Image width 240 mm, 1.00 mm slice spacing.
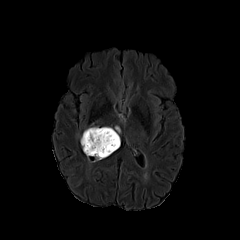
FLAIR MR.
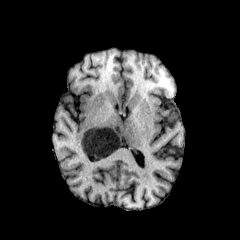
T1-weighted MR image of the same slice.
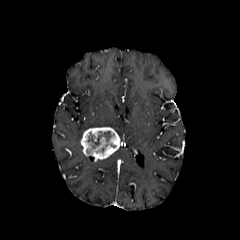
Post-contrast T1-weighted MRI of the same slice.
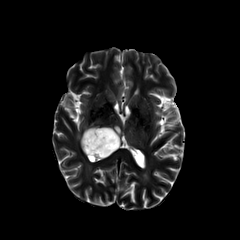
T2-weighted magnetic resonance.
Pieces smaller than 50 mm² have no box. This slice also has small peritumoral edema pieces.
necrotic tumor core = box=[88, 131, 111, 148]
enhancing tumor = box=[81, 127, 120, 163]